FLAIR MRI.
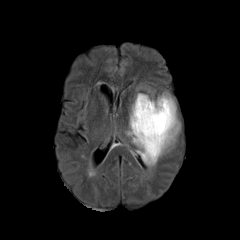
T1-weighted MRI.
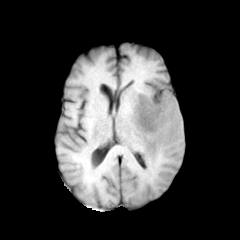
Post-contrast T1-weighted MR image.
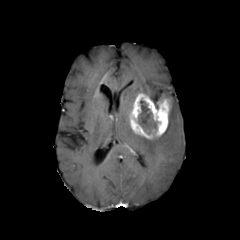
T2-weighted MRI.
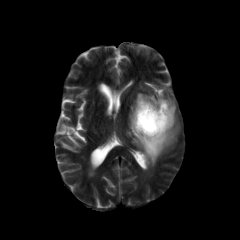
Brain.
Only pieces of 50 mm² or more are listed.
* necrotic tumor core: rect(138, 100, 156, 130)
* enhancing tumor: rect(129, 93, 170, 139)
* peritumoral edema: rect(126, 93, 180, 166)